240x240 px. Brain. Slice index 69.
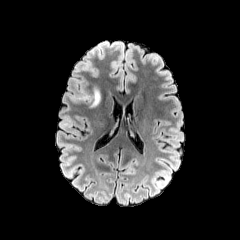
FLAIR MR.
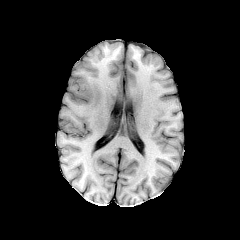
T1-weighted magnetic resonance.
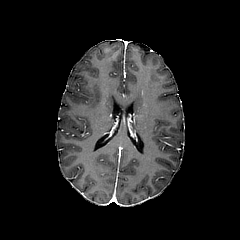
Post-contrast T1-weighted magnetic resonance.
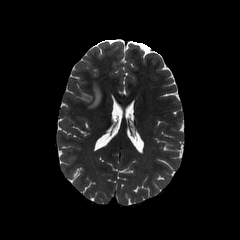
T2-weighted magnetic resonance.
peritumoral edema: x1=79, y1=86, x2=100, y2=108